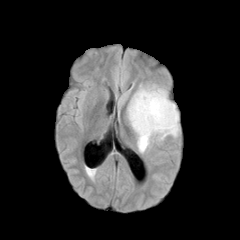
FLAIR magnetic resonance.
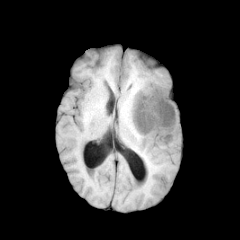
T1-weighted MR image.
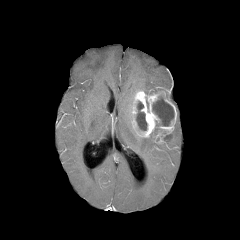
Same slice, post-contrast T1-weighted MRI.
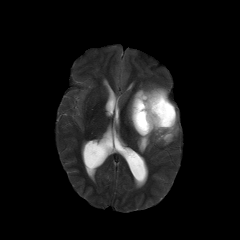
Same slice, T2-weighted MR image.
Axial view. Brain.
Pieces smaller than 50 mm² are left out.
enhancing tumor: (130,87,177,142)
necrotic tumor core: (136,102,146,130), (152,96,174,126)
peritumoral edema: (127,97,132,127), (168,113,179,137), (137,85,160,92), (137,130,158,153)